FLAIR MRI.
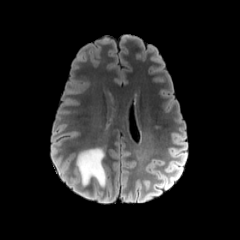
T1-weighted magnetic resonance.
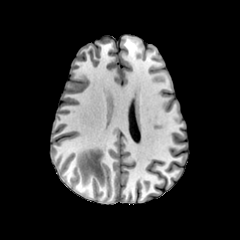
Post-contrast T1-weighted MR image.
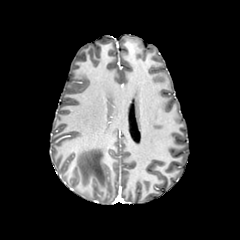
T2-weighted magnetic resonance.
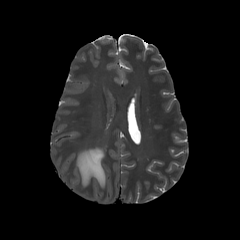
Head, Axial plane
Annotated regions:
* peritumoral edema: (x1=77, y1=148, x2=106, y2=186)